FLAIR MR.
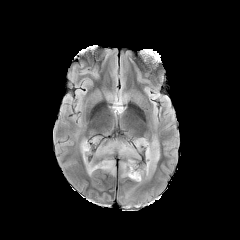
T1-weighted MR.
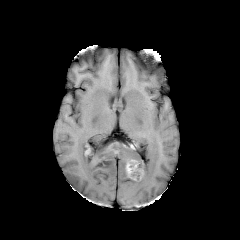
Post-contrast T1-weighted magnetic resonance.
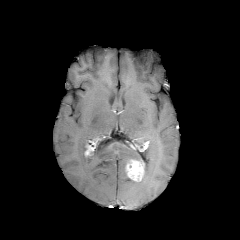
T2-weighted magnetic resonance.
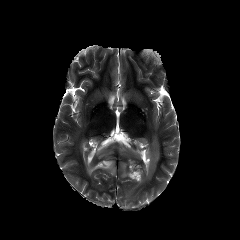
Brain.
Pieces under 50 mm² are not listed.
<segmentation>
  <peritumoral_edema>(x1=133, y1=138, x2=146, y2=150), (x1=80, y1=138, x2=139, y2=175), (x1=144, y1=139, x2=159, y2=178), (x1=121, y1=163, x2=127, y2=177)</peritumoral_edema>
  <enhancing_tumor>(x1=126, y1=159, x2=144, y2=181), (x1=84, y1=144, x2=90, y2=156)</enhancing_tumor>
</segmentation>